Brain | 240x240 px | Image covers 240 mm x 240 mm
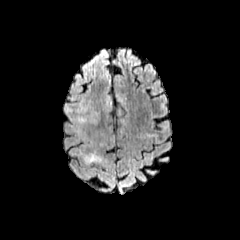
FLAIR MR image.
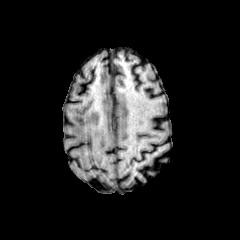
T1-weighted MR image of the same slice.
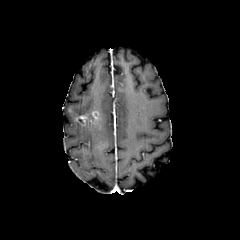
Post-contrast T1-weighted magnetic resonance.
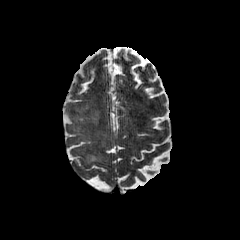
T2-weighted MR image of the same slice.
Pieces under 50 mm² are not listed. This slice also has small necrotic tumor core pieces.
enhancing tumor = box=[75, 111, 99, 125]
peritumoral edema = box=[83, 151, 102, 163]; box=[72, 123, 84, 138]